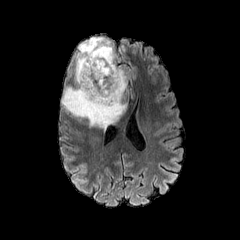
FLAIR magnetic resonance.
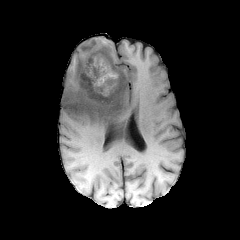
T1-weighted MR image.
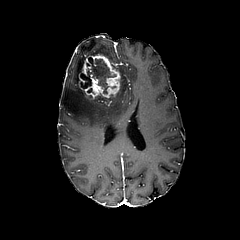
Same slice, post-contrast T1-weighted MR.
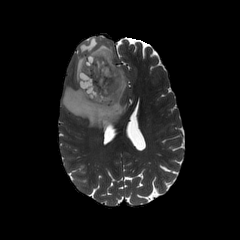
T2-weighted MR image.
Brain, Image size 240x240
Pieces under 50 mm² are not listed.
peritumoral edema: rect(61, 37, 127, 129) | enhancing tumor: rect(79, 54, 120, 102) | necrotic tumor core: rect(80, 58, 116, 93)